240x240 px; Slice index 102; Head
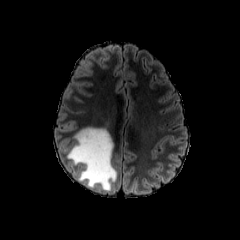
FLAIR magnetic resonance.
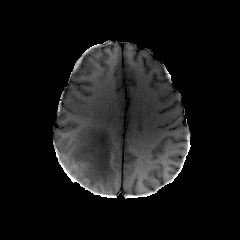
T1-weighted MR image of the same slice.
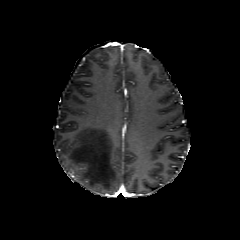
Same slice, post-contrast T1-weighted MRI.
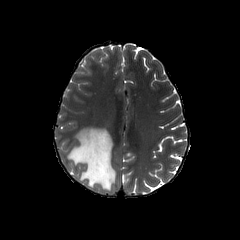
T2-weighted MR.
The peritumoral edema appears at box=[67, 126, 116, 190].